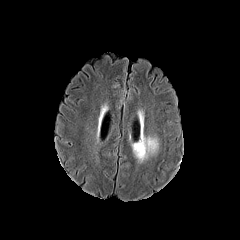
FLAIR magnetic resonance.
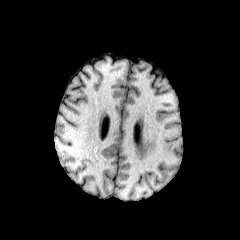
T1-weighted MR of the same slice.
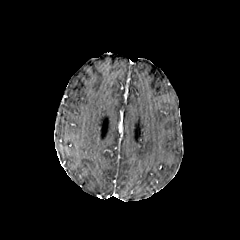
Post-contrast T1-weighted MRI.
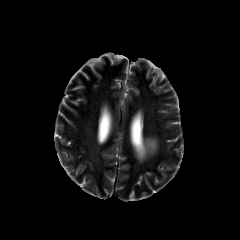
Same slice, T2-weighted magnetic resonance.
240x240 px. Axial slice.
The peritumoral edema is at [132, 132, 158, 161].